FLAIR MRI.
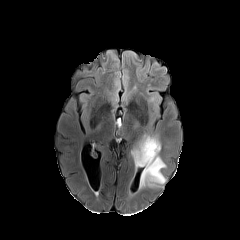
T1-weighted MRI.
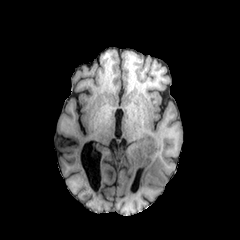
Post-contrast T1-weighted MRI.
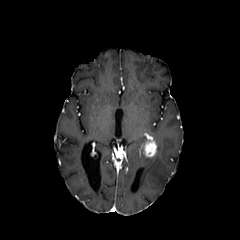
T2-weighted MR.
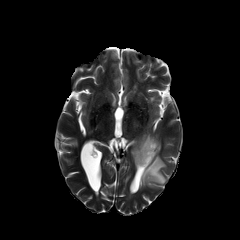
Head.
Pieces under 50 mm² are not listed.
peritumoral edema — [x1=131, y1=137, x2=166, y2=188]
enhancing tumor — [x1=139, y1=139, x2=156, y2=157]